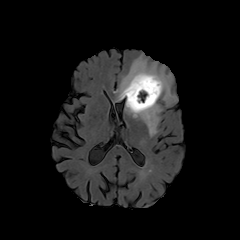
FLAIR MR.
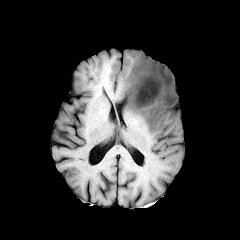
T1-weighted magnetic resonance.
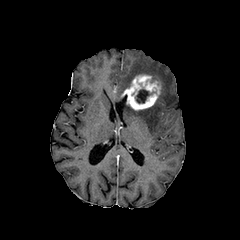
Post-contrast T1-weighted MR.
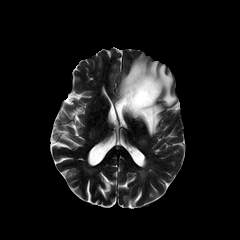
T2-weighted magnetic resonance of the same slice.
240x240 px | Head
The necrotic tumor core appears at box(136, 89, 149, 103). 2 peritumoral edema regions appear at box(117, 54, 177, 106); box(125, 101, 162, 136). The enhancing tumor is bounded by box(121, 74, 161, 110).